FLAIR MRI.
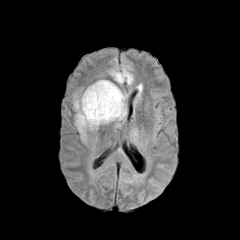
T1-weighted MR.
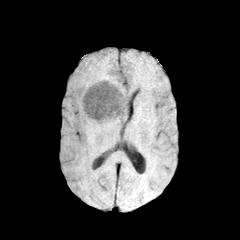
Post-contrast T1-weighted magnetic resonance.
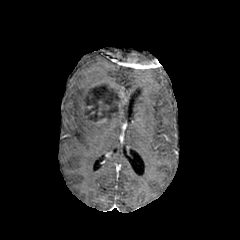
T2-weighted magnetic resonance.
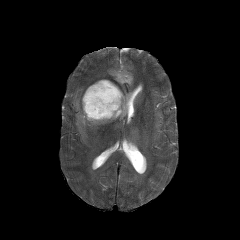
Head
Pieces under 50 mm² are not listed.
{"enhancing_tumor": ["[85, 111, 110, 123]", "[90, 81, 117, 91]", "[83, 90, 93, 110]", "[116, 90, 125, 116]"], "peritumoral_edema": ["[108, 66, 133, 85]", "[94, 79, 121, 90]", "[73, 84, 128, 139]"], "necrotic_tumor_core": ["[85, 84, 120, 119]"]}